FLAIR MR.
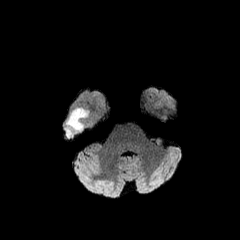
T1-weighted MR.
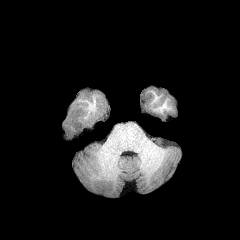
Post-contrast T1-weighted magnetic resonance.
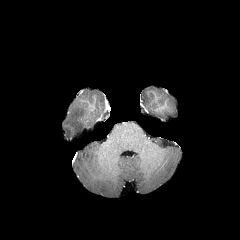
T2-weighted MRI.
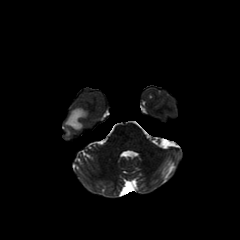
Head | 240x240 px
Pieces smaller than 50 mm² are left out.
The largest peritumoral edema region is bounded by <bbox>67, 108, 86, 129</bbox>.